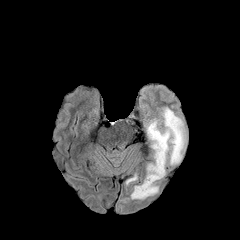
FLAIR MR image.
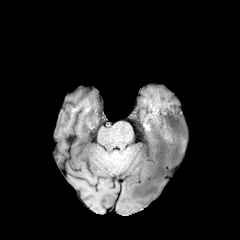
T1-weighted magnetic resonance.
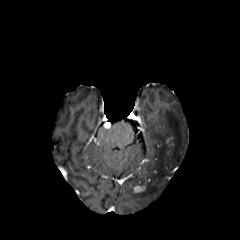
Post-contrast T1-weighted MR image.
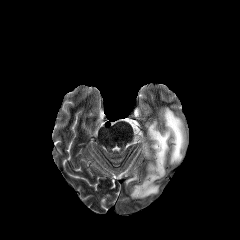
T2-weighted MR.
Image size 240x240, Brain, Axial view
The enhancing tumor is bounded by x1=133, y1=179, x2=149, y2=192. 2 peritumoral edema regions are located at x1=130, y1=107, x2=186, y2=199; x1=126, y1=174, x2=137, y2=185.